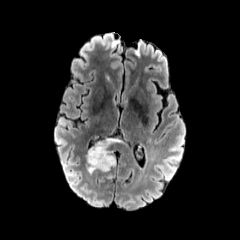
FLAIR magnetic resonance.
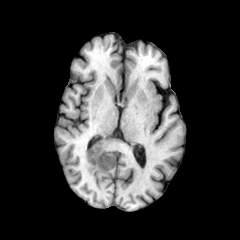
T1-weighted MRI.
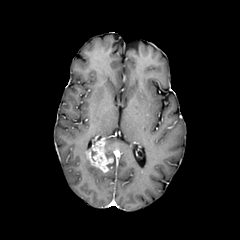
Post-contrast T1-weighted MR image.
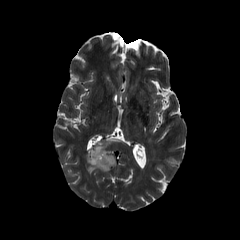
T2-weighted MR image.
Head
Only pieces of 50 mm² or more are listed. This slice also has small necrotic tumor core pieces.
{
  "peritumoral_edema": [
    "box=[105, 138, 118, 154]",
    "box=[87, 159, 99, 173]"
  ],
  "enhancing_tumor": [
    "box=[86, 139, 113, 172]"
  ]
}